Axial plane. Image width 240 mm, 1.00 mm slice spacing. Slice 133/155.
FLAIR MR image.
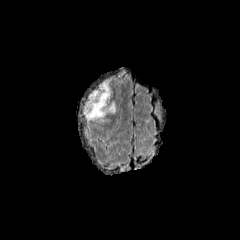
T1-weighted MR image.
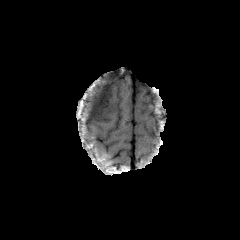
Post-contrast T1-weighted MR image.
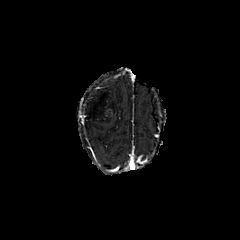
T2-weighted magnetic resonance.
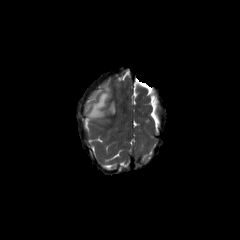
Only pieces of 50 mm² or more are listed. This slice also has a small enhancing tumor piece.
peritumoral edema at x1=83, y1=80, x2=115, y2=121